Axial plane
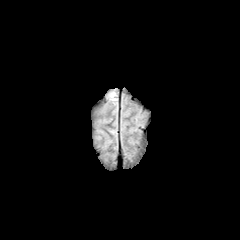
FLAIR magnetic resonance.
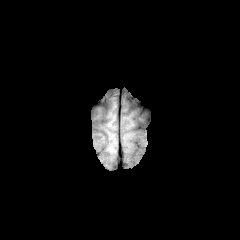
Same slice, T1-weighted magnetic resonance.
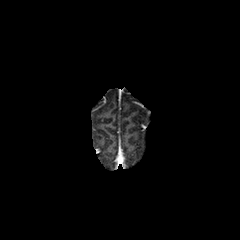
Post-contrast T1-weighted magnetic resonance.
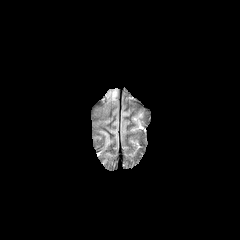
Same slice, T2-weighted magnetic resonance.
peritumoral edema at bbox(109, 91, 116, 100)